FLAIR MR image.
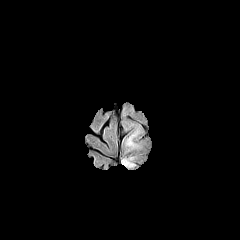
T1-weighted MR.
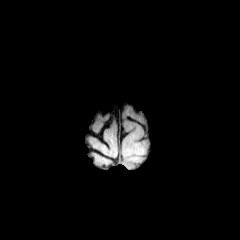
Post-contrast T1-weighted MR image.
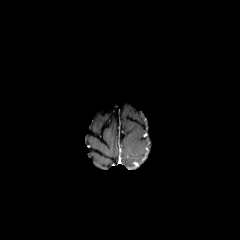
T2-weighted MR image.
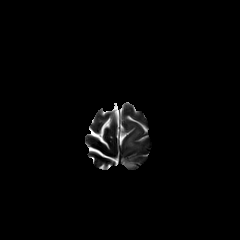
Brain. 240x240 px.
<segmentation>
  <peritumoral_edema>l=122, t=155, r=137, b=168; l=123, t=127, r=141, b=154</peritumoral_edema>
</segmentation>